Axial plane. Head.
FLAIR MRI.
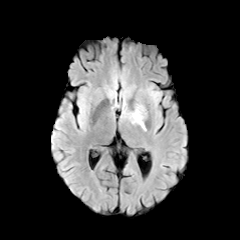
T1-weighted magnetic resonance.
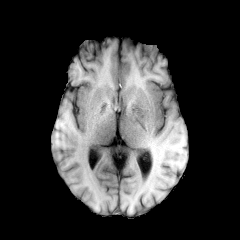
Post-contrast T1-weighted MR image.
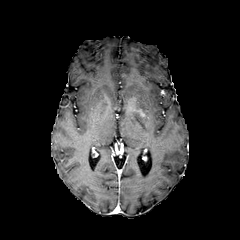
T2-weighted MR.
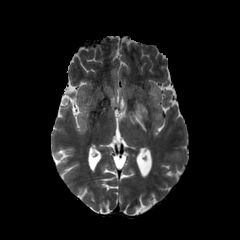
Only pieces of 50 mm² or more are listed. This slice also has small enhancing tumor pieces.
{"peritumoral_edema": ["150,91,160,101", "134,103,145,116", "121,98,145,130"]}